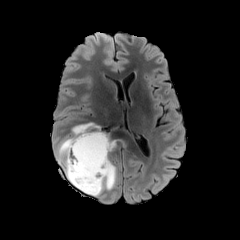
FLAIR MR image.
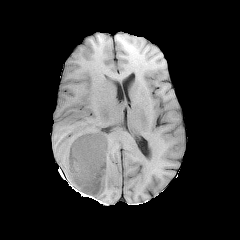
T1-weighted MRI.
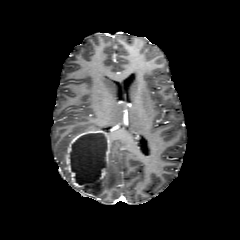
Post-contrast T1-weighted MR image.
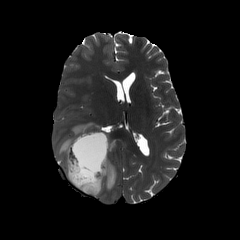
T2-weighted MR of the same slice.
Brain, Image size 240x240
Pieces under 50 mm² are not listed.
necrotic_tumor_core:
  - region(71, 134, 106, 194)
enhancing_tumor:
  - region(66, 131, 109, 195)
peritumoral_edema:
  - region(56, 122, 100, 181)
  - region(95, 160, 116, 196)